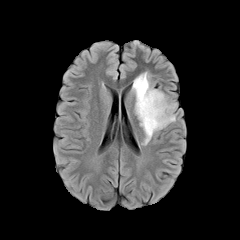
FLAIR MR.
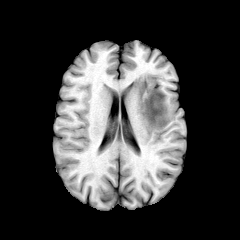
T1-weighted MR image.
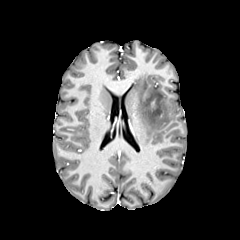
Post-contrast T1-weighted MR image.
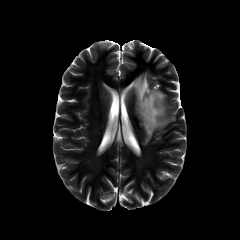
T2-weighted MR image of the same slice.
Axial slice. 240x240. Head.
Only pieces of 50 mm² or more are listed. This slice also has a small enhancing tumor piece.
peritumoral edema: <box>132,72,175,144</box>